FLAIR MR.
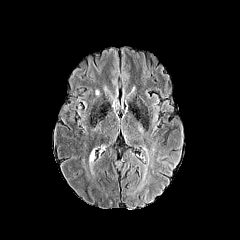
T1-weighted MR.
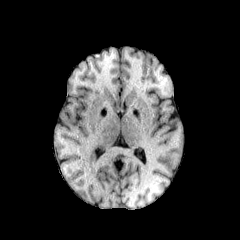
Post-contrast T1-weighted magnetic resonance.
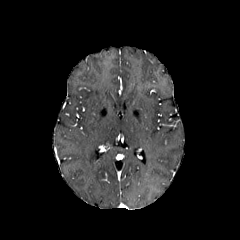
T2-weighted MRI.
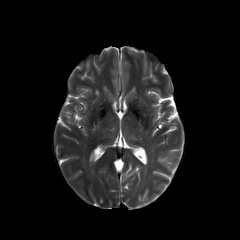
240x240 px. Head.
peritumoral edema: 89, 149, 94, 162